FLAIR MR.
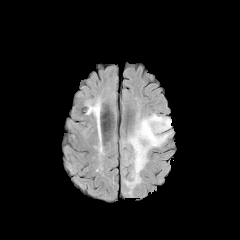
T1-weighted MRI.
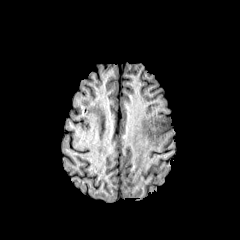
Post-contrast T1-weighted MRI.
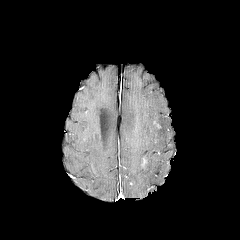
T2-weighted MRI.
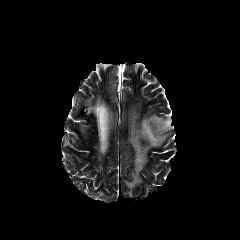
240x240 px; Head
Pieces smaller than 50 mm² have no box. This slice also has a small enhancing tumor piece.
peritumoral edema: box(124, 113, 171, 193)